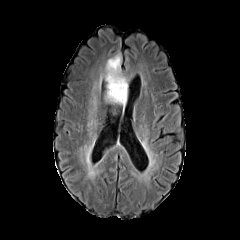
FLAIR MR image.
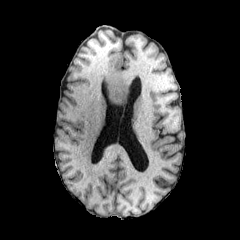
T1-weighted MRI of the same slice.
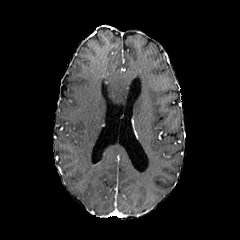
Post-contrast T1-weighted MR.
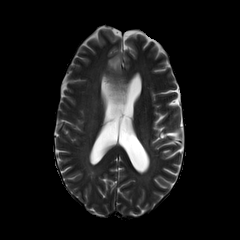
T2-weighted MR.
Head
peritumoral edema: 106 55 127 105